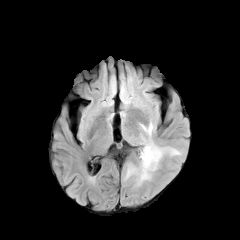
FLAIR magnetic resonance.
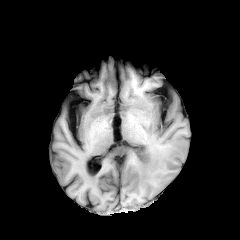
T1-weighted MR of the same slice.
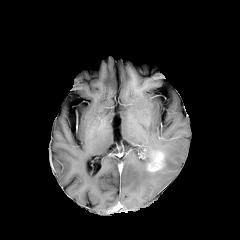
Post-contrast T1-weighted magnetic resonance of the same slice.
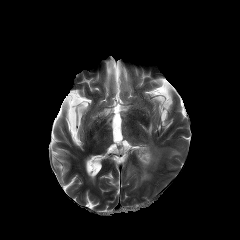
Same slice, T2-weighted MR image.
Image size 240x240, Brain
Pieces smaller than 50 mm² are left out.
Annotated regions:
• enhancing tumor: 147 152 163 171
• peritumoral edema: 126 168 134 177, 138 142 162 182, 142 123 152 136